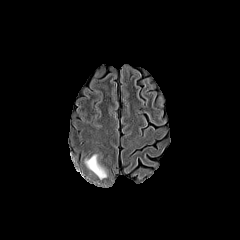
FLAIR MRI.
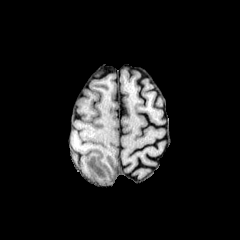
T1-weighted MR of the same slice.
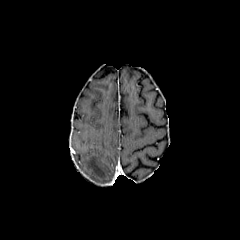
Post-contrast T1-weighted MRI of the same slice.
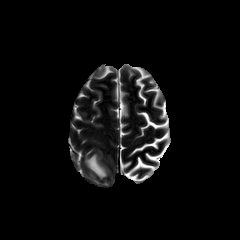
Same slice, T2-weighted MRI.
Brain. Axial plane.
peritumoral_edema:
  - box=[85, 154, 107, 179]